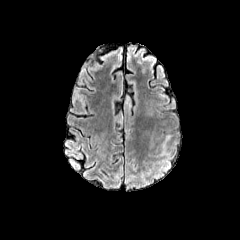
FLAIR MR image.
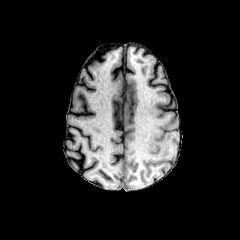
T1-weighted MR image.
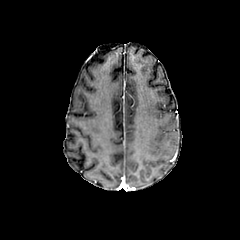
Same slice, post-contrast T1-weighted MR image.
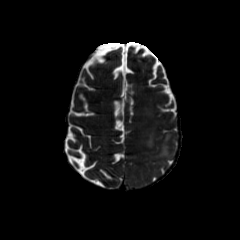
T2-weighted MRI.
240x240 px
2 peritumoral edema regions appear at (142,130,154,148), (159,134,171,155).